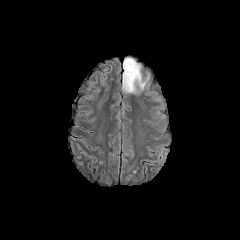
FLAIR MR.
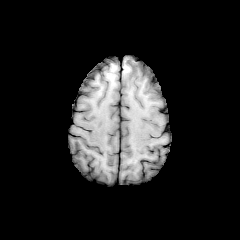
T1-weighted MR.
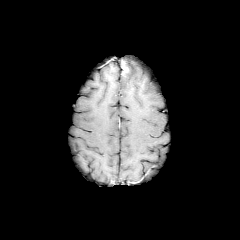
Same slice, post-contrast T1-weighted MR image.
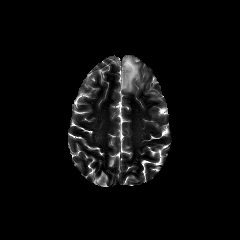
T2-weighted MRI.
Brain.
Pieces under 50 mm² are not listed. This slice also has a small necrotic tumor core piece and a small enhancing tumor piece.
{"peritumoral_edema": ["122, 57, 148, 93"]}